Brain
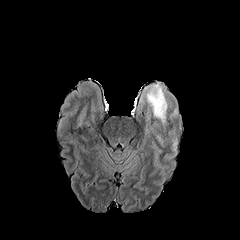
FLAIR MR image.
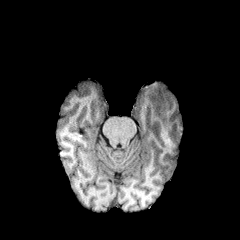
T1-weighted MRI.
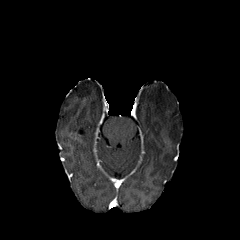
Post-contrast T1-weighted MR of the same slice.
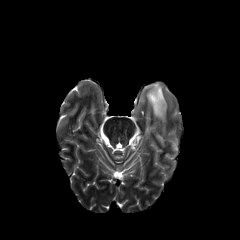
T2-weighted magnetic resonance of the same slice.
peritumoral edema: (172, 138, 179, 156), (145, 82, 167, 123)